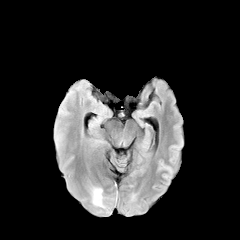
FLAIR MR.
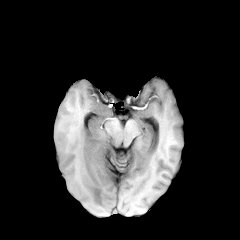
T1-weighted MR of the same slice.
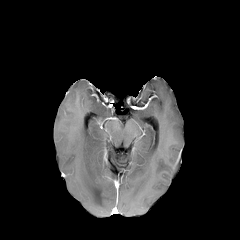
Same slice, post-contrast T1-weighted magnetic resonance.
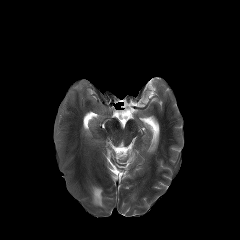
T2-weighted magnetic resonance.
peritumoral edema at 92:187:103:207